Head
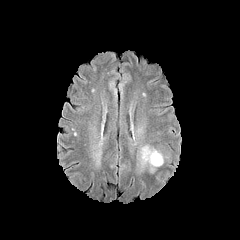
FLAIR MR.
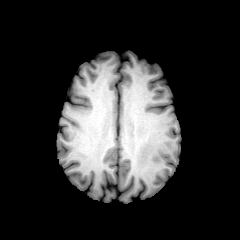
T1-weighted MR image.
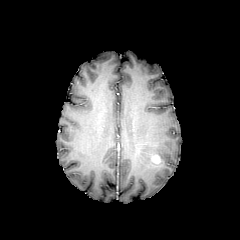
Post-contrast T1-weighted magnetic resonance of the same slice.
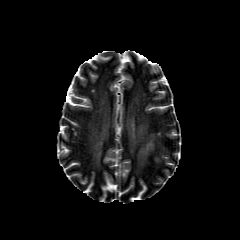
T2-weighted MR image.
peritumoral edema: bounding box bbox(141, 146, 163, 166)
enhancing tumor: bounding box bbox(152, 155, 160, 163)